240x240. Slice index 32.
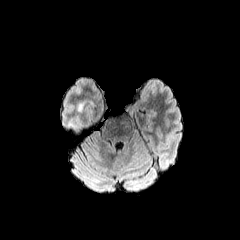
FLAIR MRI.
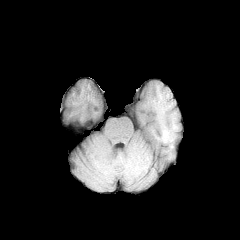
T1-weighted magnetic resonance of the same slice.
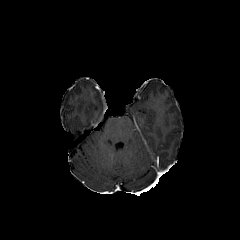
Post-contrast T1-weighted MR image.
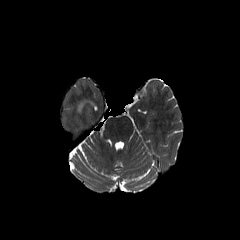
Same slice, T2-weighted MR.
The peritumoral edema is located at [77,100,94,111].